240x240
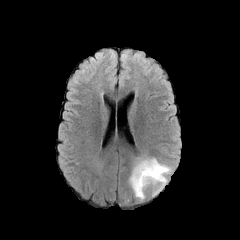
FLAIR MRI.
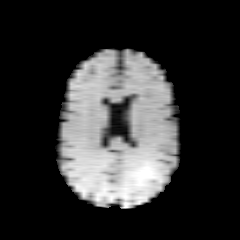
T1-weighted MR image of the same slice.
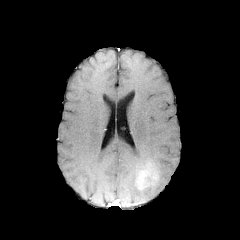
Same slice, post-contrast T1-weighted MRI.
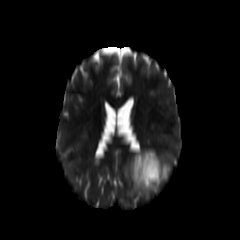
T2-weighted MR image.
peritumoral edema: x1=129, y1=153, x2=171, y2=200
enhancing tumor: x1=136, y1=162, x2=158, y2=189